FLAIR MR.
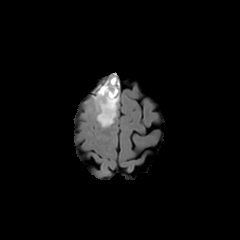
T1-weighted MR image.
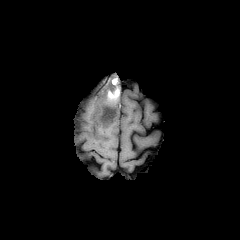
Post-contrast T1-weighted MRI.
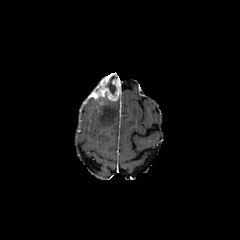
T2-weighted MR image.
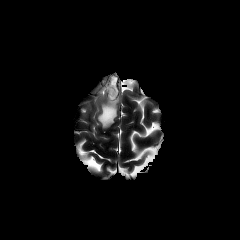
240x240.
* necrotic tumor core: {"x1": 107, "y1": 76, "x2": 116, "y2": 94}
* enhancing tumor: {"x1": 93, "y1": 76, "x2": 119, "y2": 105}
* peritumoral edema: {"x1": 94, "y1": 99, "x2": 118, "y2": 127}